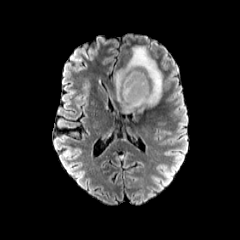
FLAIR MR.
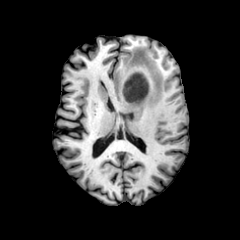
T1-weighted magnetic resonance.
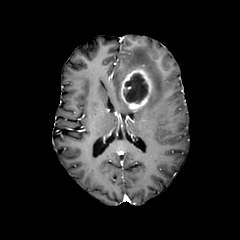
Post-contrast T1-weighted magnetic resonance.
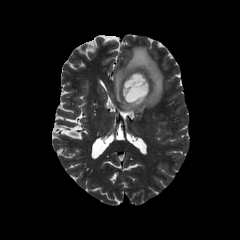
T2-weighted MR image.
Axial plane; Brain
necrotic tumor core — box(124, 74, 147, 102)
peritumoral edema — box(114, 46, 162, 112)
enhancing tumor — box(120, 68, 152, 110)